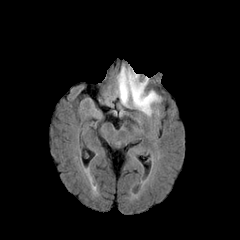
FLAIR MR.
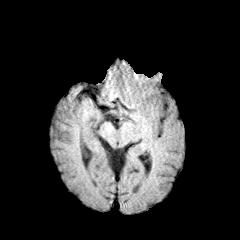
Same slice, T1-weighted magnetic resonance.
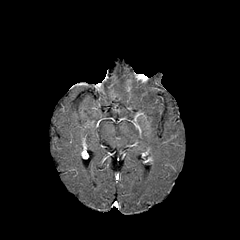
Post-contrast T1-weighted MR image.
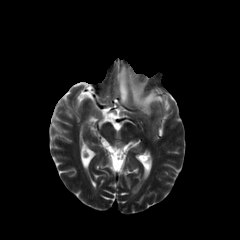
Same slice, T2-weighted MR.
Axial plane; Brain
{
  "peritumoral_edema": [
    "l=116, t=67, r=160, b=115"
  ]
}